FLAIR MRI.
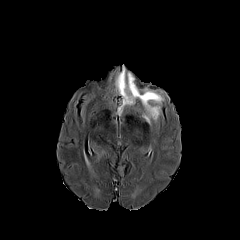
T1-weighted magnetic resonance.
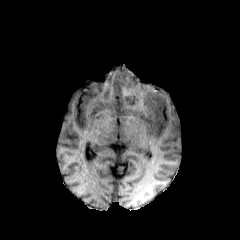
Post-contrast T1-weighted MR image.
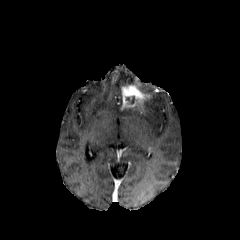
T2-weighted MR.
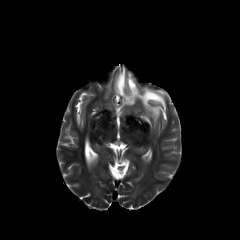
Brain, Image size 240x240
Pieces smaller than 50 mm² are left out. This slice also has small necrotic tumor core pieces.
enhancing tumor: [x1=121, y1=83, x2=151, y2=110]
peritumoral edema: [x1=115, y1=67, x2=133, y2=95], [x1=142, y1=88, x2=163, y2=123]